Axial plane
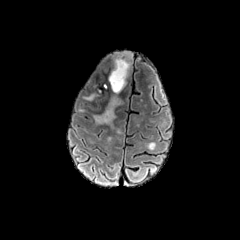
FLAIR MRI.
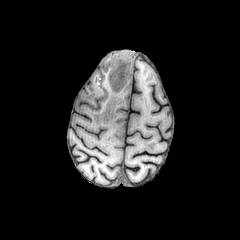
T1-weighted magnetic resonance.
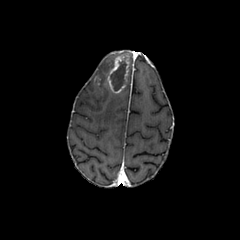
Post-contrast T1-weighted MR.
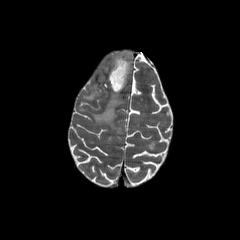
T2-weighted magnetic resonance of the same slice.
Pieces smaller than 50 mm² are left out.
<segmentation>
  <enhancing_tumor>107:53:129:93</enhancing_tumor>
  <necrotic_tumor_core>110:61:126:90</necrotic_tumor_core>
  <peritumoral_edema>83:94:95:100, 93:93:123:126</peritumoral_edema>
</segmentation>